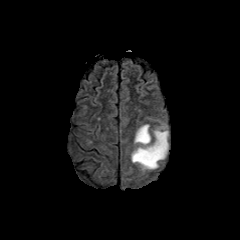
FLAIR magnetic resonance.
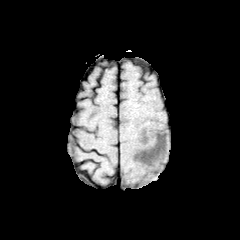
Same slice, T1-weighted magnetic resonance.
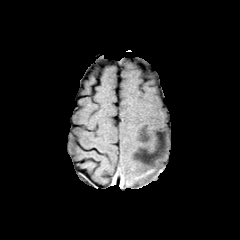
Post-contrast T1-weighted magnetic resonance of the same slice.
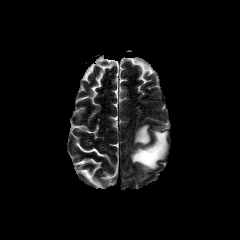
T2-weighted magnetic resonance.
Axial view, Head
* peritumoral edema: l=131, t=124, r=168, b=169